Image width 240 mm, 1.00 mm slice spacing
FLAIR MRI.
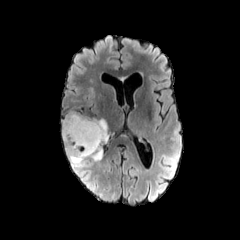
T1-weighted MR image.
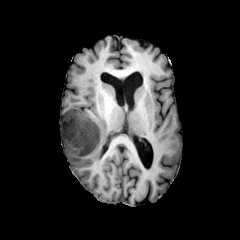
Post-contrast T1-weighted MRI.
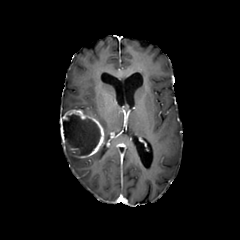
T2-weighted magnetic resonance.
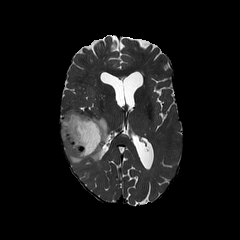
peritumoral_edema:
  - <bbox>88, 146, 103, 160</bbox>
  - <bbox>97, 118, 114, 143</bbox>
  - <bbox>65, 149, 86, 167</bbox>
necrotic_tumor_core:
  - <bbox>63, 113, 100, 156</bbox>
enhancing_tumor:
  - <bbox>60, 108, 104, 158</bbox>